Axial view; Brain; Slice 47 of 155
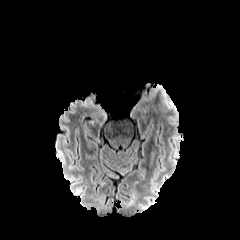
FLAIR magnetic resonance.
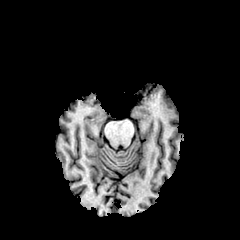
T1-weighted magnetic resonance of the same slice.
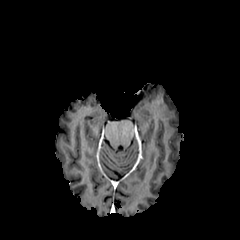
Post-contrast T1-weighted MR image of the same slice.
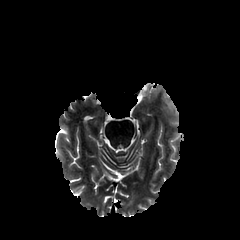
T2-weighted magnetic resonance.
peritumoral_edema:
  - 161:98:177:121